Image covers 240 mm x 240 mm; Head
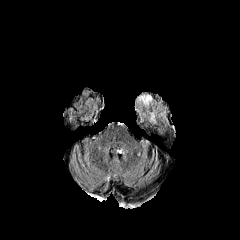
FLAIR MRI.
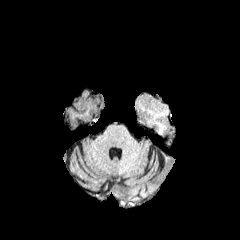
Same slice, T1-weighted magnetic resonance.
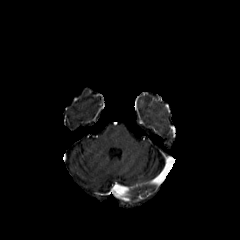
Same slice, post-contrast T1-weighted MR image.
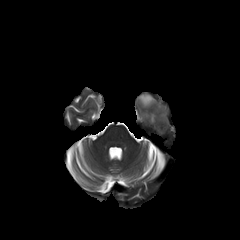
Same slice, T2-weighted magnetic resonance.
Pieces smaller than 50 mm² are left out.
* peritumoral edema: 139:95:151:105